FLAIR MRI.
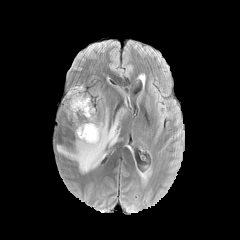
T1-weighted magnetic resonance.
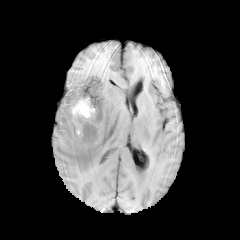
Post-contrast T1-weighted magnetic resonance.
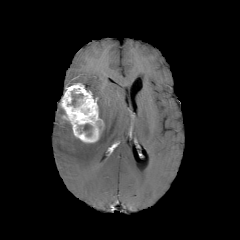
T2-weighted MRI.
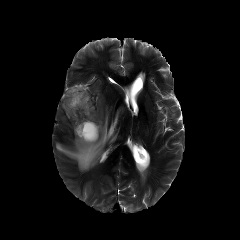
Brain
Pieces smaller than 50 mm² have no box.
enhancing tumor: [61,83,104,143]
peritumoral edema: [56,108,120,172]
necrotic tumor core: [83,124,92,136], [72,94,82,106]